Brain; Slice 95/155
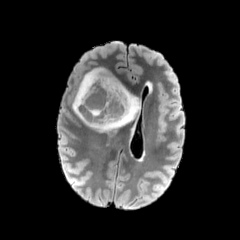
FLAIR MRI.
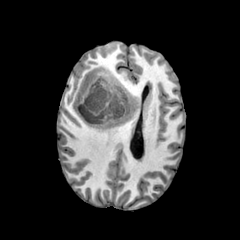
Same slice, T1-weighted MRI.
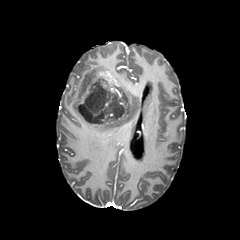
Post-contrast T1-weighted magnetic resonance.
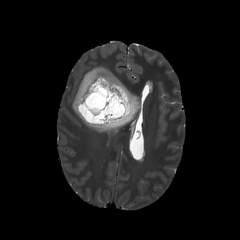
T2-weighted MRI.
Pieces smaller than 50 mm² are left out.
necrotic tumor core: [109, 96, 123, 118], [78, 82, 107, 123] | peritumoral edema: [72, 67, 140, 132] | enhancing tumor: [76, 71, 128, 123]